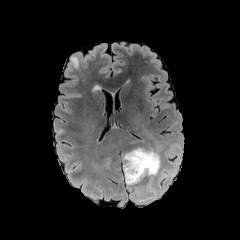
FLAIR MR image.
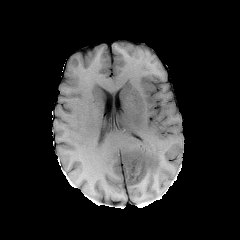
T1-weighted magnetic resonance.
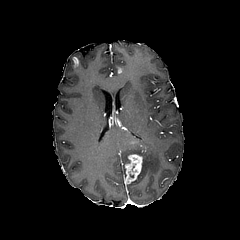
Same slice, post-contrast T1-weighted MRI.
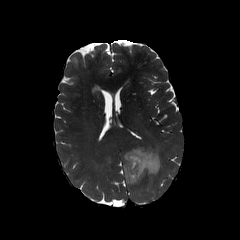
Same slice, T2-weighted MRI.
Image size 240x240
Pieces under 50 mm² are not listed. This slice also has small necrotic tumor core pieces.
enhancing tumor at 71 57 78 68, 125 154 142 183
peritumoral edema at 122 147 161 192